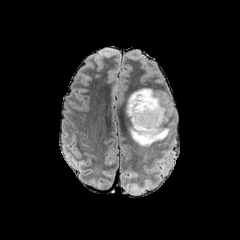
FLAIR MR image.
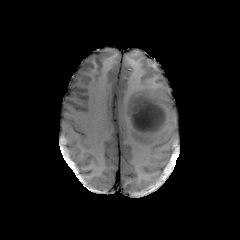
T1-weighted MR.
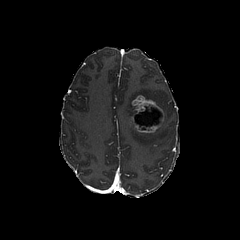
Post-contrast T1-weighted magnetic resonance.
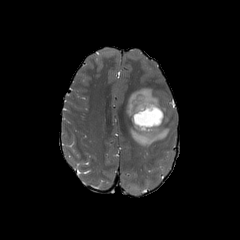
T2-weighted MR.
Axial view
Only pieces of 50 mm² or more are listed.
{
  "peritumoral_edema": [
    "(left=126, top=88, right=160, bottom=118)",
    "(left=130, top=125, right=168, bottom=146)"
  ],
  "necrotic_tumor_core": [
    "(left=134, top=105, right=161, bottom=129)"
  ],
  "enhancing_tumor": [
    "(left=131, top=95, right=163, bottom=133)"
  ]
}